Axial view. Brain.
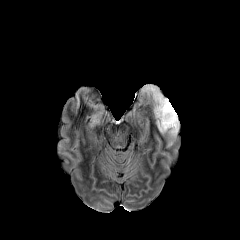
FLAIR MR image.
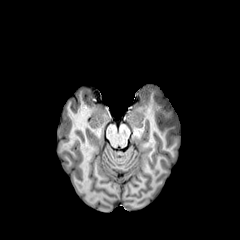
T1-weighted MR image of the same slice.
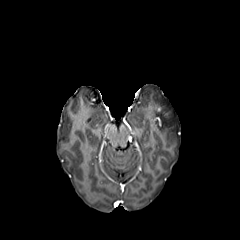
Post-contrast T1-weighted MR image.
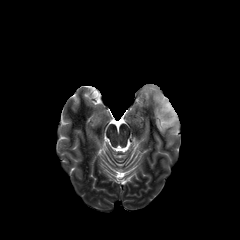
T2-weighted MRI of the same slice.
peritumoral_edema:
  - <box>146,85,179,137</box>